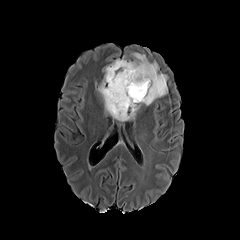
FLAIR MR.
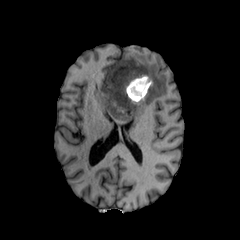
T1-weighted MR.
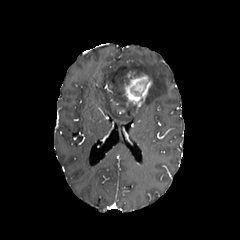
Same slice, post-contrast T1-weighted MRI.
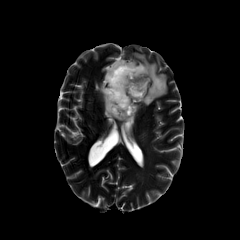
Same slice, T2-weighted MRI.
240x240; Head; Axial plane
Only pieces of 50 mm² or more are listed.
Annotated regions:
- peritumoral edema: box(98, 56, 136, 121); box(128, 52, 168, 105)
- enhancing tumor: box(124, 71, 151, 108)
- necrotic tumor core: box(108, 62, 132, 108)